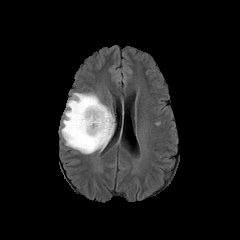
FLAIR magnetic resonance.
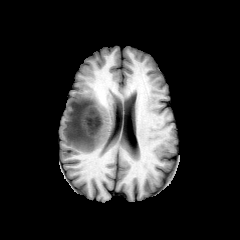
T1-weighted magnetic resonance.
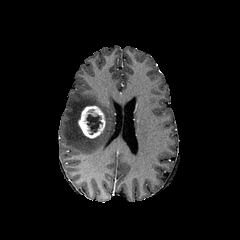
Post-contrast T1-weighted MR.
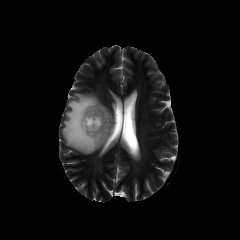
Same slice, T2-weighted MR image.
The necrotic tumor core is bounded by (x1=86, y1=114, x2=102, y2=134). The enhancing tumor appears at (x1=78, y1=106, x2=105, y2=138). The peritumoral edema is bounded by (x1=61, y1=93, x2=112, y2=154).